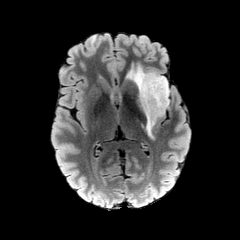
FLAIR magnetic resonance.
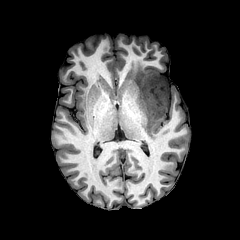
T1-weighted MR.
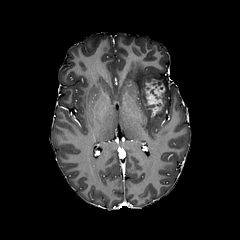
Post-contrast T1-weighted magnetic resonance of the same slice.
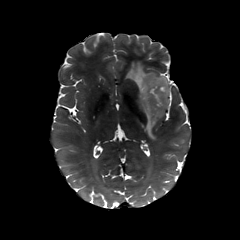
T2-weighted magnetic resonance of the same slice.
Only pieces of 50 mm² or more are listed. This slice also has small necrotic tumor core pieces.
peritumoral edema: bounding box [x1=126, y1=64, x2=169, y2=138]
enhancing tumor: bounding box [x1=142, y1=78, x2=165, y2=117]